FLAIR MRI.
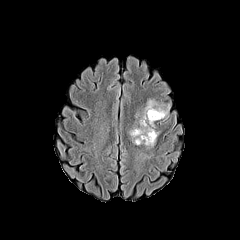
T1-weighted MR.
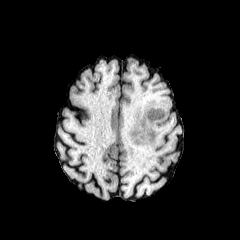
Post-contrast T1-weighted magnetic resonance.
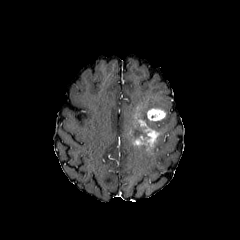
T2-weighted MR image.
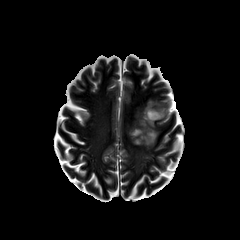
Head | Axial view
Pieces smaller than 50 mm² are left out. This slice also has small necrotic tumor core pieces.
{
  "enhancing_tumor": [
    "147,108,166,120",
    "133,119,159,147"
  ],
  "peritumoral_edema": [
    "135,149,153,167",
    "129,98,170,141"
  ]
}